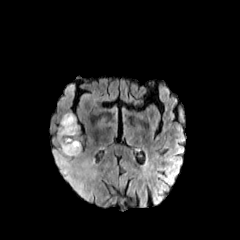
FLAIR magnetic resonance.
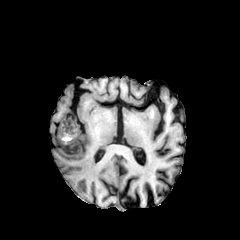
T1-weighted magnetic resonance.
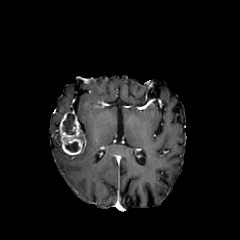
Post-contrast T1-weighted MR.
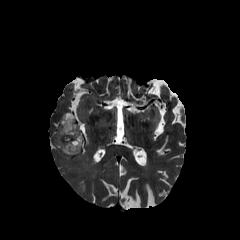
Same slice, T2-weighted MRI.
240x240; Head; Axial slice
<segmentation>
  <peritumoral_edema>[x1=52, y1=131, x2=95, y2=202], [x1=98, y1=117, x2=107, y2=127]</peritumoral_edema>
  <necrotic_tumor_core>[x1=65, y1=142, x2=78, y2=151], [x1=63, y1=114, x2=75, y2=134]</necrotic_tumor_core>
  <enhancing_tumor>[x1=58, y1=112, x2=84, y2=155]</enhancing_tumor>
</segmentation>